Image size 240x240. Slice 91/155.
FLAIR MR.
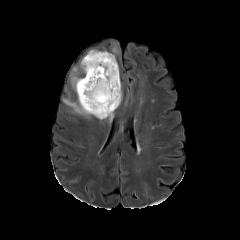
T1-weighted magnetic resonance.
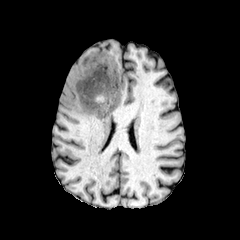
Post-contrast T1-weighted MR image.
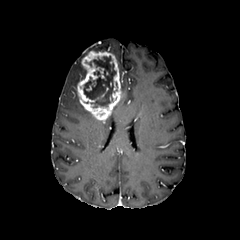
T2-weighted MR image.
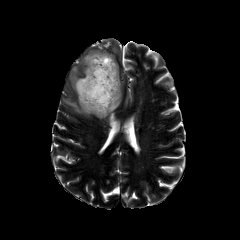
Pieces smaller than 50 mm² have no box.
enhancing tumor — box=[77, 51, 121, 120]
peritumoral edema — box=[70, 62, 86, 92]; box=[63, 97, 92, 117]
necrotic tumor core — box=[83, 56, 116, 107]